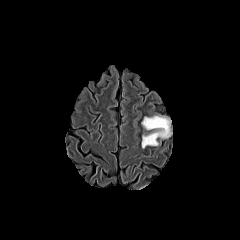
FLAIR MR image.
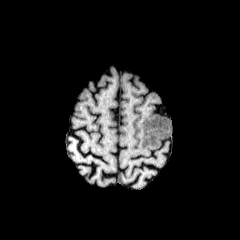
T1-weighted MR image.
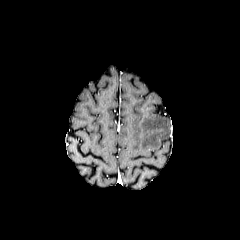
Post-contrast T1-weighted magnetic resonance.
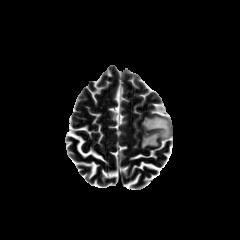
T2-weighted MRI.
Head. Axial plane.
peritumoral edema: 141, 116, 170, 148